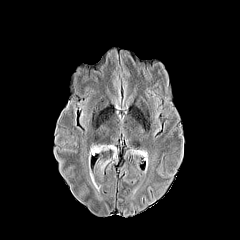
FLAIR MRI.
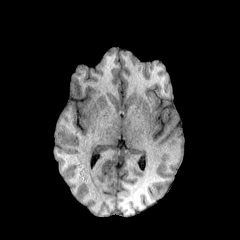
T1-weighted magnetic resonance.
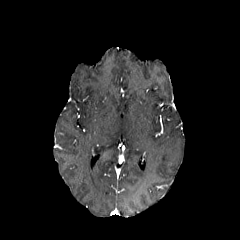
Post-contrast T1-weighted MR image of the same slice.
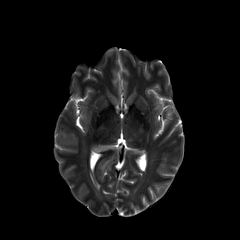
Same slice, T2-weighted MR.
Head | 240x240 | Axial slice
Findings:
- peritumoral edema: 90 145 116 183, 90 170 99 191